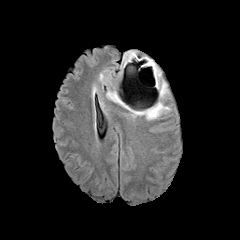
FLAIR magnetic resonance.
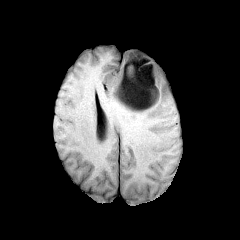
Same slice, T1-weighted MR image.
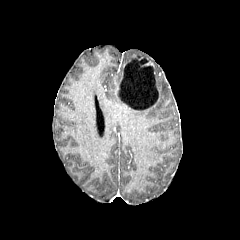
Post-contrast T1-weighted magnetic resonance.
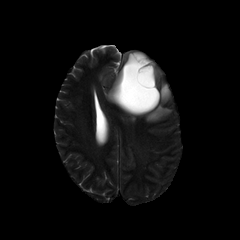
Same slice, T2-weighted MRI.
Axial slice | Head | 240x240
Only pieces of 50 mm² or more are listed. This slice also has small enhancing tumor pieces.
peritumoral_edema:
  - (left=129, top=101, right=170, bottom=120)
  - (left=154, top=67, right=169, bottom=99)
  - (left=106, top=86, right=124, bottom=107)
necrotic_tumor_core:
  - (left=117, top=59, right=158, bottom=111)